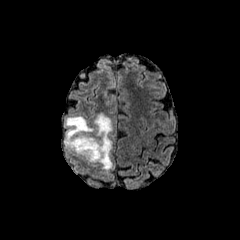
FLAIR MR.
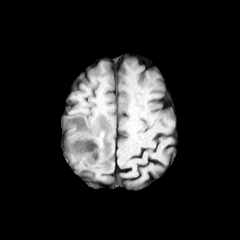
T1-weighted MR image of the same slice.
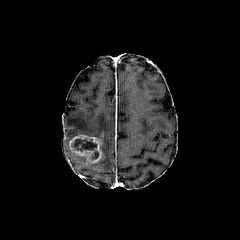
Post-contrast T1-weighted MRI.
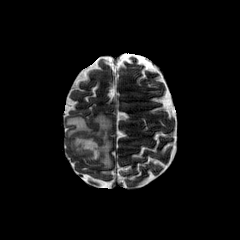
T2-weighted MR.
Axial plane.
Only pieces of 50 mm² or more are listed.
peritumoral edema at bbox(94, 113, 112, 170); bbox(65, 116, 94, 150)
enhancing tumor at bbox(69, 134, 103, 163)
necrotic tumor core at bbox(72, 139, 96, 151)